FLAIR MR.
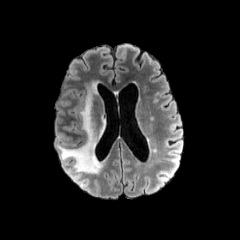
T1-weighted MR.
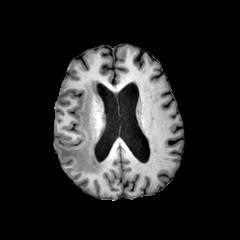
Post-contrast T1-weighted MRI.
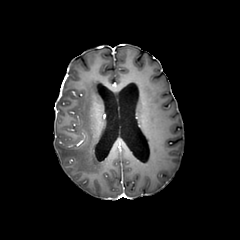
T2-weighted MR.
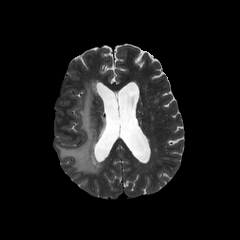
Image size 240x240. Axial plane.
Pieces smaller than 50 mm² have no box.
peritumoral edema at 57 82 102 173